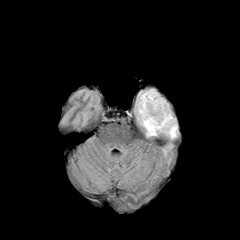
FLAIR MRI.
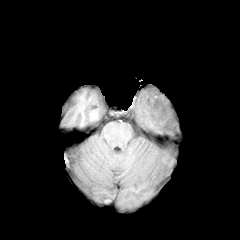
Same slice, T1-weighted MRI.
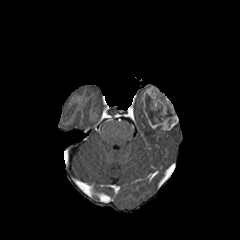
Post-contrast T1-weighted MR of the same slice.
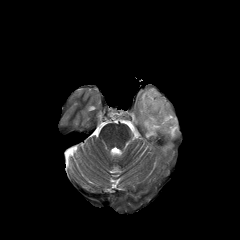
T2-weighted magnetic resonance of the same slice.
Axial plane. 240x240 px.
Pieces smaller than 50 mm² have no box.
<segmentation>
  <necrotic_tumor_core>{"x1": 145, "y1": 94, "x2": 172, "y2": 124}</necrotic_tumor_core>
  <peritumoral_edema>{"x1": 135, "y1": 90, "x2": 177, "y2": 138}</peritumoral_edema>
  <enhancing_tumor>{"x1": 141, "y1": 86, "x2": 177, "y2": 130}</enhancing_tumor>
</segmentation>